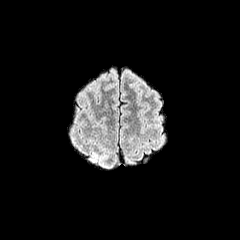
FLAIR MR.
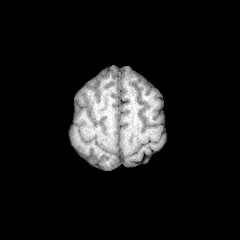
Same slice, T1-weighted magnetic resonance.
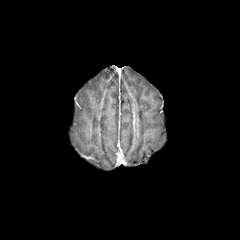
Post-contrast T1-weighted magnetic resonance of the same slice.
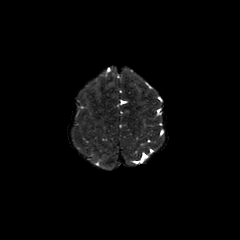
T2-weighted MR.
Axial view | 240x240
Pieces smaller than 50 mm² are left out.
The largest peritumoral edema region is located at (x1=88, y1=80, x2=100, y2=92).